Axial view, Head, 240x240 px, Slice index 119
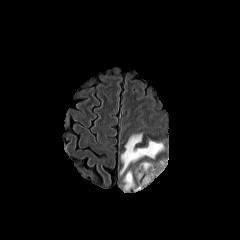
FLAIR MR.
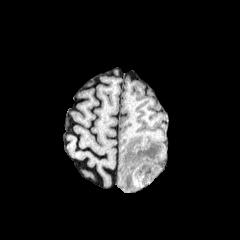
T1-weighted MRI.
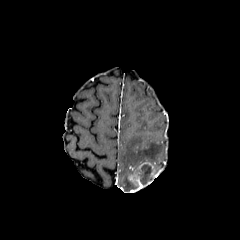
Post-contrast T1-weighted MR image of the same slice.
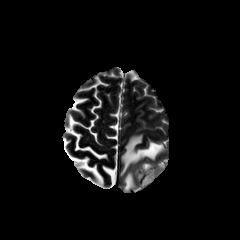
Same slice, T2-weighted MR.
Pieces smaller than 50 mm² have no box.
<segmentation>
  <necrotic_tumor_core>left=140, top=165, right=151, bottom=184</necrotic_tumor_core>
  <peritumoral_edema>left=123, top=171, right=136, bottom=191; left=120, top=134, right=164, bottom=175</peritumoral_edema>
  <enhancing_tumor>left=128, top=161, right=162, bottom=189</enhancing_tumor>
</segmentation>